FLAIR magnetic resonance.
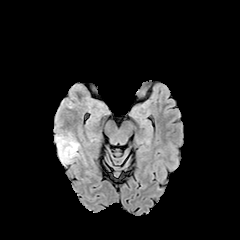
T1-weighted MR.
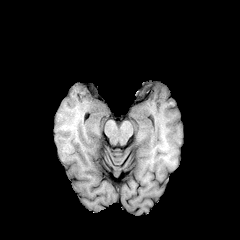
Post-contrast T1-weighted MR image.
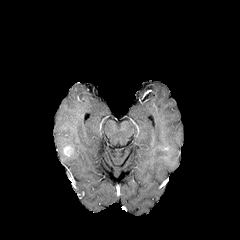
T2-weighted MR image.
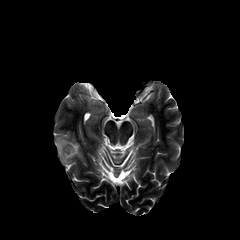
Head; Image size 240x240
peritumoral edema: (56,134,79,163)
enhancing tumor: (63,145,73,156)